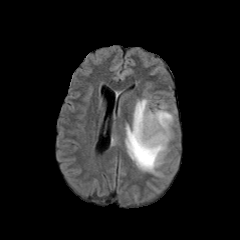
FLAIR magnetic resonance.
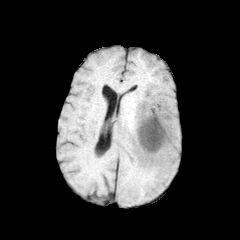
T1-weighted MRI of the same slice.
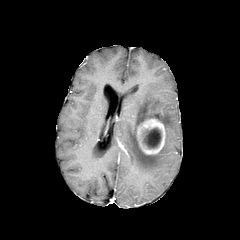
Same slice, post-contrast T1-weighted MRI.
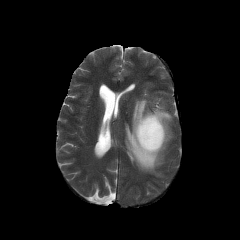
T2-weighted magnetic resonance.
Axial slice. Brain.
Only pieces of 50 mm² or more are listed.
The largest peritumoral edema region is located at <box>125,98,173,174</box>. The enhancing tumor lies within <box>136,116,166,154</box>. The necrotic tumor core appears at <box>143,128,161,148</box>.